240x240 px, Head, Axial view, Slice index 87
FLAIR MRI.
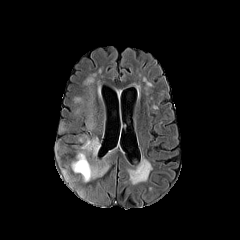
T1-weighted magnetic resonance.
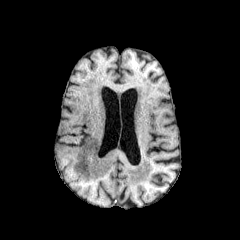
Post-contrast T1-weighted magnetic resonance.
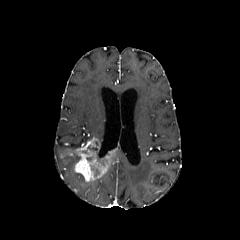
T2-weighted MR image.
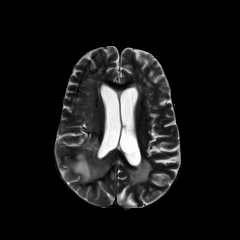
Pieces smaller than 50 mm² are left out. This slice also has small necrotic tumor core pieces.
peritumoral edema: [71, 155, 79, 173], [85, 121, 93, 130] | enhancing tumor: [58, 137, 118, 181]